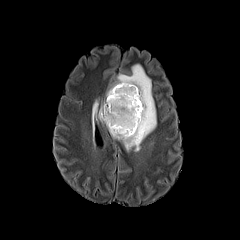
FLAIR MRI.
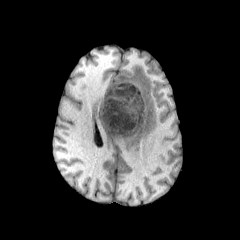
T1-weighted MR.
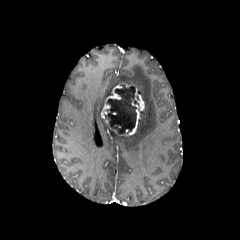
Post-contrast T1-weighted MRI.
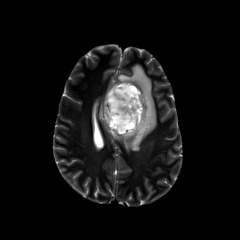
T2-weighted MR image.
Brain, Axial view, 240x240
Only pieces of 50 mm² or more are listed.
necrotic tumor core: rect(104, 84, 138, 133) | peritumoral edema: rect(105, 64, 156, 151); rect(96, 101, 104, 121) | enhancing tumor: rect(122, 87, 144, 135); rect(100, 84, 122, 123)